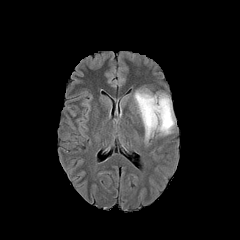
FLAIR MR image.
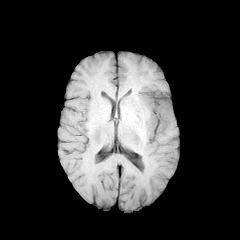
T1-weighted MR image.
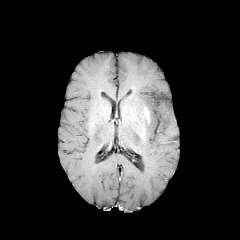
Post-contrast T1-weighted magnetic resonance of the same slice.
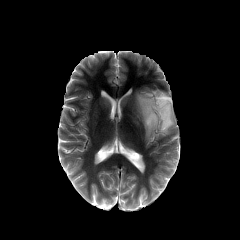
T2-weighted MR.
Image size 240x240, Head
The peritumoral edema is located at {"x1": 134, "y1": 91, "x2": 175, "y2": 140}. The enhancing tumor is bounded by {"x1": 144, "y1": 107, "x2": 150, "y2": 123}.